Axial plane; Slice 88 of 155; Image width 240 mm, 1.00 mm slice spacing
FLAIR MR image.
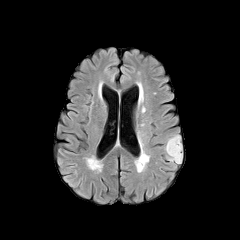
T1-weighted MR.
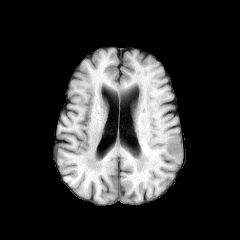
Post-contrast T1-weighted MR.
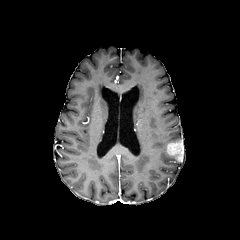
T2-weighted magnetic resonance.
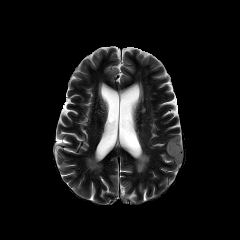
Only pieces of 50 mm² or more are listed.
enhancing_tumor:
  - <box>167,140,184,162</box>
peritumoral_edema:
  - <box>167,135,182,142</box>